Slice 56 of 155. Axial view.
FLAIR magnetic resonance.
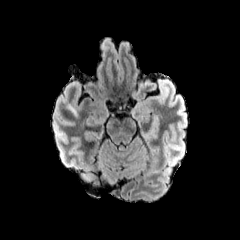
T1-weighted magnetic resonance.
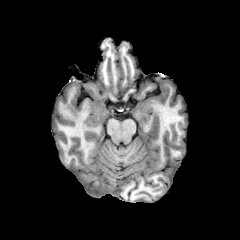
Post-contrast T1-weighted MR image.
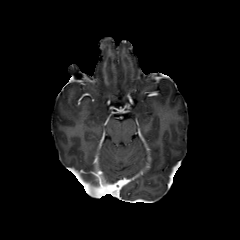
T2-weighted MR image.
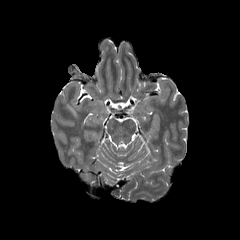
<segmentation>
  <peritumoral_edema>rect(66, 104, 78, 116)</peritumoral_edema>
</segmentation>